Head, 240x240, Image covers 240 mm x 240 mm
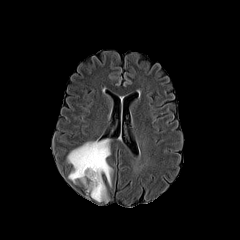
FLAIR MRI.
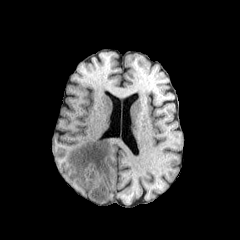
Same slice, T1-weighted MR.
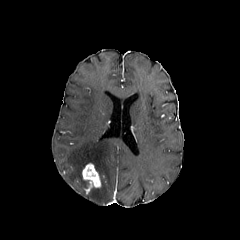
Post-contrast T1-weighted magnetic resonance of the same slice.
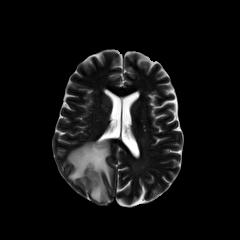
T2-weighted MR.
The enhancing tumor appears at [82,163,101,193]. The peritumoral edema is bounded by [67,139,112,202]. The necrotic tumor core lies within [87,166,95,176].